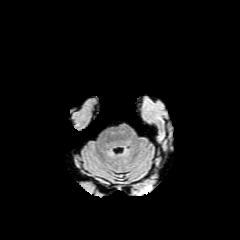
FLAIR MR image.
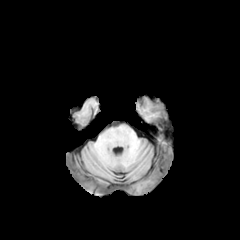
T1-weighted magnetic resonance.
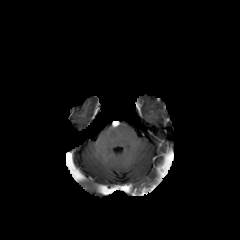
Same slice, post-contrast T1-weighted MR image.
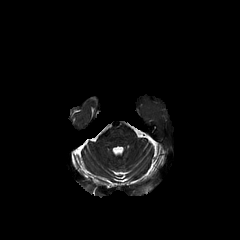
T2-weighted MR image of the same slice.
Axial slice, 240x240 px
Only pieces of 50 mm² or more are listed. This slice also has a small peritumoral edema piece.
enhancing tumor: bounding box left=135, top=186, right=153, bottom=195